FLAIR MR image.
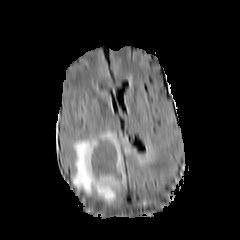
T1-weighted MR.
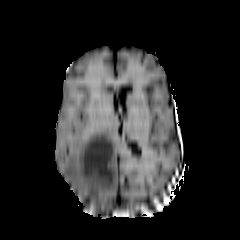
Post-contrast T1-weighted magnetic resonance.
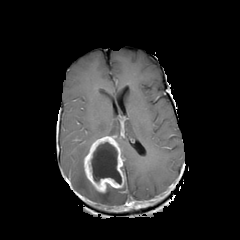
T2-weighted MR image.
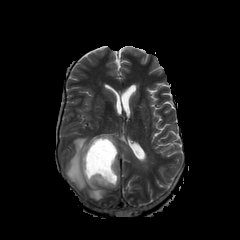
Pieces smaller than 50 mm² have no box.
The enhancing tumor is at box=[84, 136, 125, 192]. The necrotic tumor core lies within box=[91, 142, 121, 184]. The 2 largest peritumoral edema regions appear at box=[121, 136, 131, 154]; box=[71, 131, 120, 202].